Axial plane; Slice index 30; 240x240
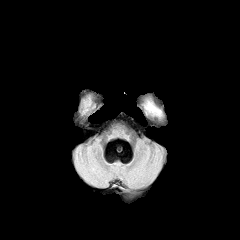
FLAIR MRI.
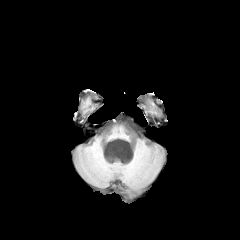
T1-weighted MRI.
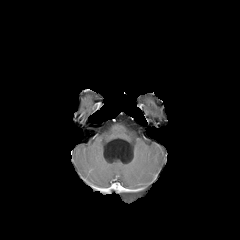
Post-contrast T1-weighted MR of the same slice.
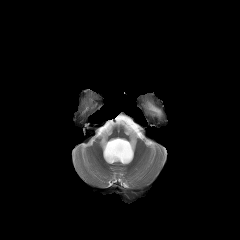
T2-weighted MRI of the same slice.
Findings:
- peritumoral edema: 146:102:160:115